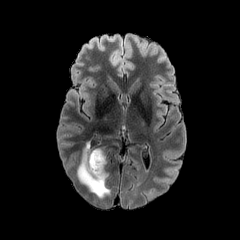
FLAIR MR.
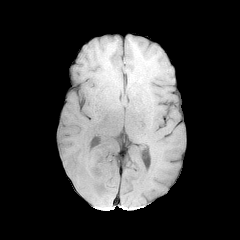
T1-weighted MR image of the same slice.
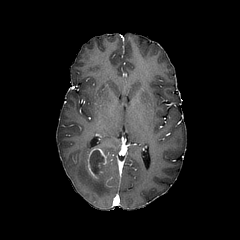
Same slice, post-contrast T1-weighted MRI.
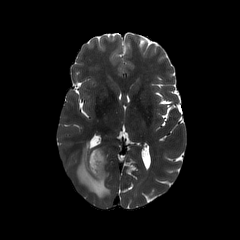
Same slice, T2-weighted MRI.
Head.
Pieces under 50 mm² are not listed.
Findings:
• peritumoral edema: (75,142,110,198), (91,146,106,157)
• enhancing tumor: (87,148,107,180)
• necrotic tumor core: (89,150,103,175)